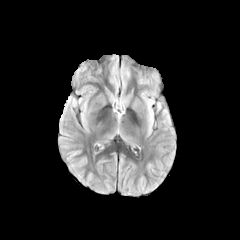
FLAIR magnetic resonance.
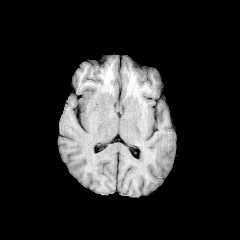
T1-weighted MR image.
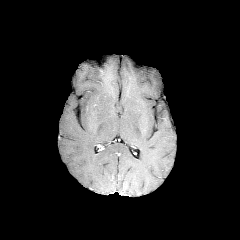
Post-contrast T1-weighted magnetic resonance of the same slice.
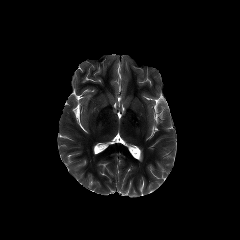
T2-weighted MR of the same slice.
240x240
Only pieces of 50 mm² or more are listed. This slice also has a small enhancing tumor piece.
peritumoral edema: bounding box [88,103,98,113]